Slice 72 of 155
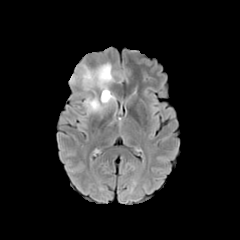
FLAIR MRI.
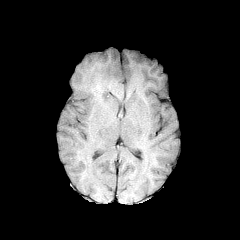
Same slice, T1-weighted MR.
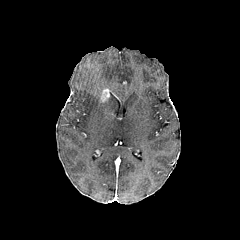
Same slice, post-contrast T1-weighted magnetic resonance.
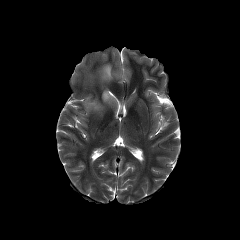
T2-weighted MRI.
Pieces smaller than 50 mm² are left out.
enhancing tumor: box=[101, 89, 109, 101] | peritumoral edema: box=[88, 99, 100, 110]; box=[97, 64, 112, 85]